Head, 240x240 px
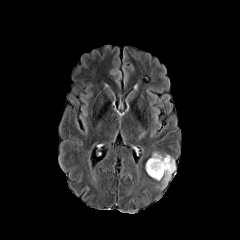
FLAIR MR image.
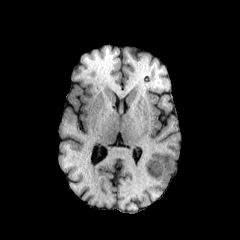
T1-weighted magnetic resonance of the same slice.
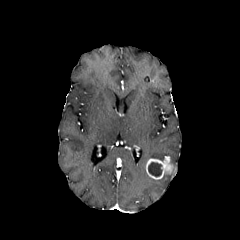
Same slice, post-contrast T1-weighted MR.
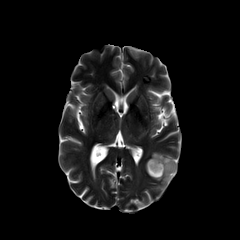
Same slice, T2-weighted MR image.
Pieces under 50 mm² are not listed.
The 2 largest peritumoral edema regions are located at 151:152:169:160, 160:174:171:189. The enhancing tumor is at 145:156:175:179. The necrotic tumor core is located at 148:162:162:176.